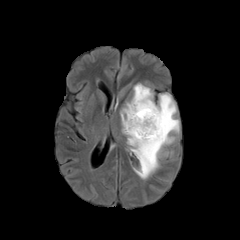
FLAIR MRI.
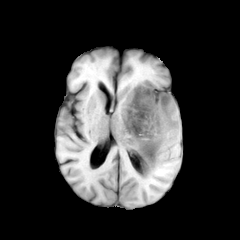
T1-weighted magnetic resonance of the same slice.
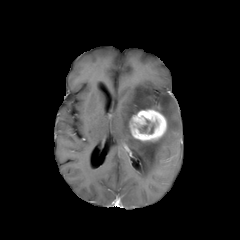
Post-contrast T1-weighted MR.
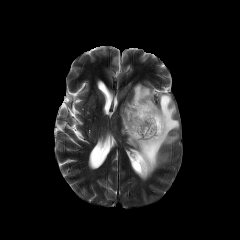
T2-weighted MRI.
Image size 240x240
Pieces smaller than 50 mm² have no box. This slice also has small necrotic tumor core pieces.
peritumoral edema: [120,83,179,179]
enhancing tumor: [129,108,167,141]